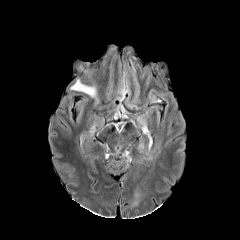
FLAIR magnetic resonance.
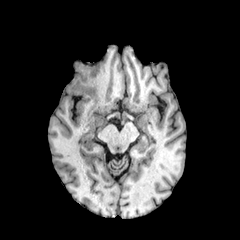
T1-weighted MR image.
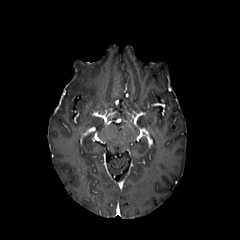
Post-contrast T1-weighted magnetic resonance.
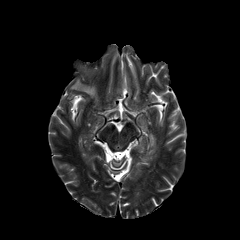
T2-weighted MR image.
Head; Image size 240x240
<segmentation>
  <peritumoral_edema>box(71, 79, 96, 97)</peritumoral_edema>
</segmentation>